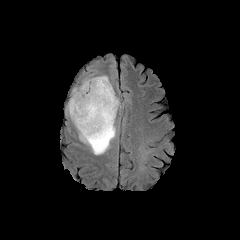
FLAIR magnetic resonance.
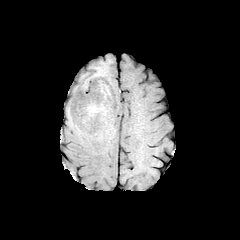
Same slice, T1-weighted magnetic resonance.
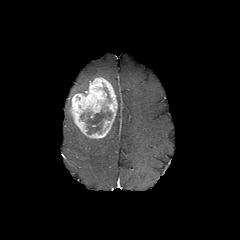
Post-contrast T1-weighted MR.
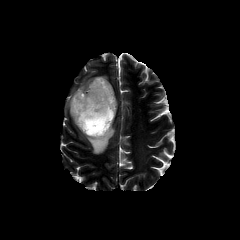
Same slice, T2-weighted magnetic resonance.
Head
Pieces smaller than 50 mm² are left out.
enhancing tumor: bounding box {"x1": 70, "y1": 77, "x2": 117, "y2": 138}
peritumoral edema: bounding box {"x1": 72, "y1": 78, "x2": 93, "y2": 96}, {"x1": 74, "y1": 75, "x2": 119, "y2": 154}
necrotic tumor core: bounding box {"x1": 86, "y1": 111, "x2": 111, "y2": 134}